FLAIR MRI.
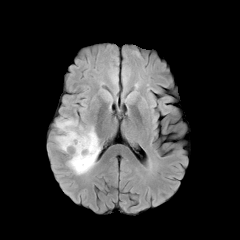
T1-weighted MRI.
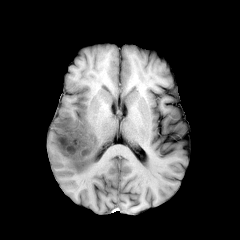
Post-contrast T1-weighted MR image.
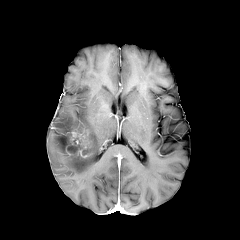
T2-weighted MR.
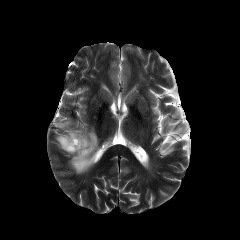
240x240 px. Brain. Axial slice.
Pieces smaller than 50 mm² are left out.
The enhancing tumor is located at 66 131 92 157. The largest necrotic tumor core region is bounded by 68 144 82 153. The peritumoral edema appears at 55 118 100 174.